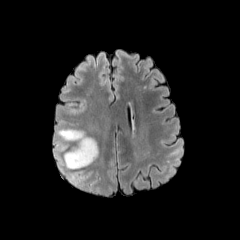
FLAIR MR.
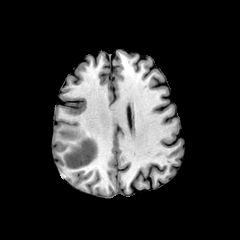
T1-weighted MRI.
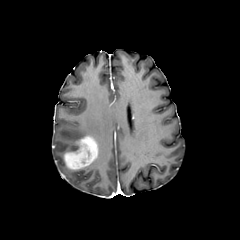
Post-contrast T1-weighted magnetic resonance.
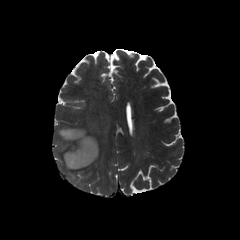
T2-weighted MR image.
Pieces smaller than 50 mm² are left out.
peritumoral edema: (left=58, top=128, right=88, bottom=151), (left=55, top=154, right=79, bottom=181) | enhancing tumor: (left=64, top=136, right=98, bottom=169)